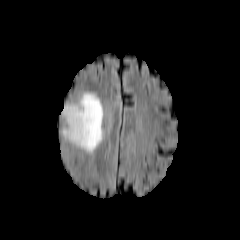
FLAIR MR.
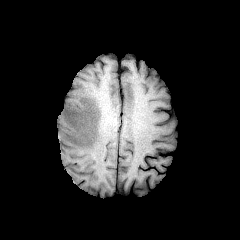
T1-weighted magnetic resonance.
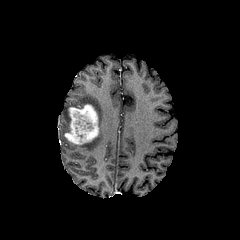
Same slice, post-contrast T1-weighted MR image.
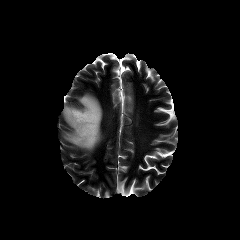
T2-weighted MR.
Axial view
peritumoral_edema:
  - <box>62,92,103,152</box>
enhancing_tumor:
  - <box>64,104,98,145</box>